Image width 240 mm. Slice 118 of 155.
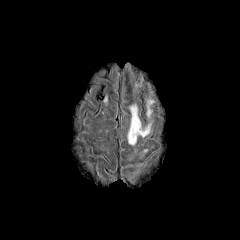
FLAIR MR image.
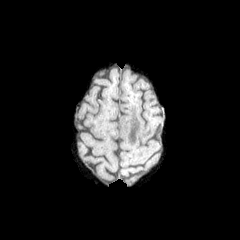
T1-weighted MR.
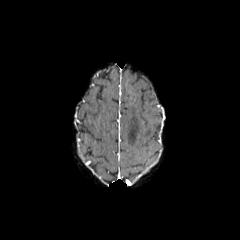
Post-contrast T1-weighted MR.
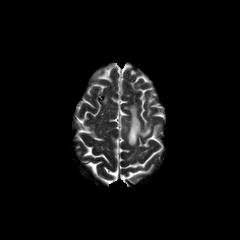
T2-weighted MRI of the same slice.
peritumoral edema: x1=147, y1=100, x2=152, y2=117; x1=127, y1=105, x2=150, y2=145